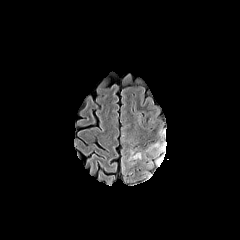
FLAIR MR.
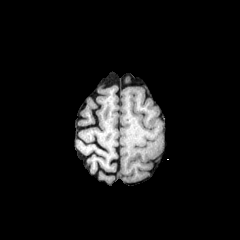
T1-weighted MR.
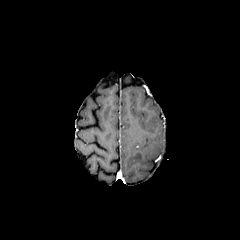
Post-contrast T1-weighted MR of the same slice.
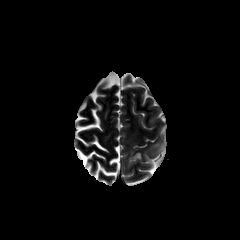
Same slice, T2-weighted magnetic resonance.
Brain; 240x240 px
The peritumoral edema is located at [121, 129, 166, 174].